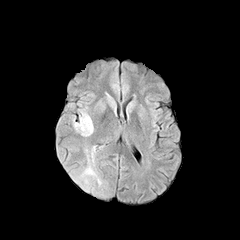
FLAIR magnetic resonance.
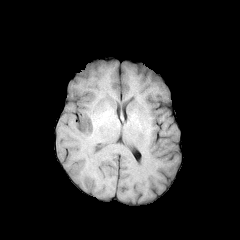
T1-weighted magnetic resonance.
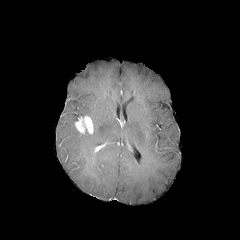
Same slice, post-contrast T1-weighted MRI.
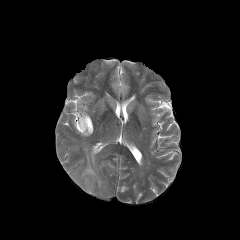
T2-weighted magnetic resonance.
Axial slice | Image size 240x240
enhancing_tumor:
  - {"x1": 75, "y1": 115, "x2": 93, "y2": 133}
peritumoral_edema:
  - {"x1": 78, "y1": 146, "x2": 101, "y2": 190}
  - {"x1": 79, "y1": 109, "x2": 89, "y2": 116}
  - {"x1": 72, "y1": 118, "x2": 91, "y2": 136}